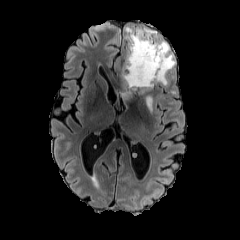
FLAIR magnetic resonance.
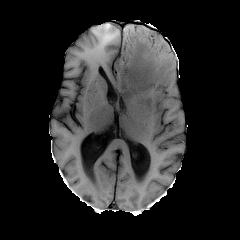
T1-weighted MR image of the same slice.
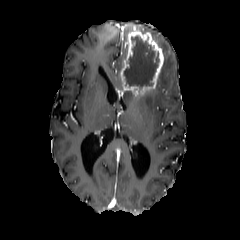
Post-contrast T1-weighted magnetic resonance.
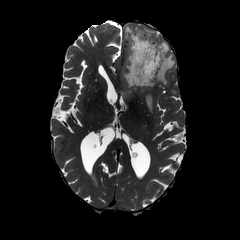
Same slice, T2-weighted MR image.
Head. Axial plane.
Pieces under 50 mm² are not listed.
necrotic tumor core at rect(124, 36, 159, 88)
peritumoral edema at rect(122, 92, 132, 100); rect(124, 23, 175, 84); rect(140, 92, 152, 113)
enhancing tumor at rect(120, 26, 164, 95)